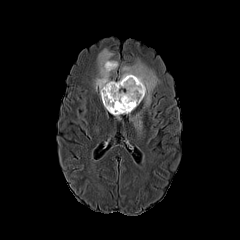
FLAIR MR image.
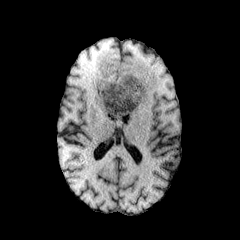
Same slice, T1-weighted MRI.
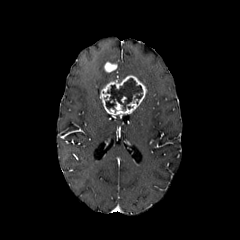
Post-contrast T1-weighted magnetic resonance.
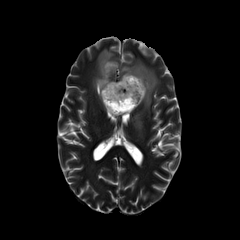
T2-weighted MRI.
Axial plane. 240x240. Head.
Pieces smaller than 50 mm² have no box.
necrotic_tumor_core:
  - [106, 78, 142, 109]
peritumoral_edema:
  - [93, 49, 118, 90]
  - [118, 60, 158, 132]
enhancing_tumor:
  - [100, 75, 146, 115]
  - [104, 62, 117, 72]